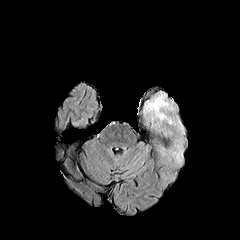
FLAIR magnetic resonance.
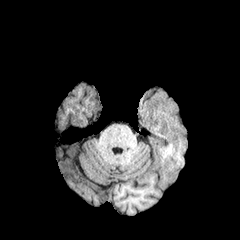
T1-weighted magnetic resonance.
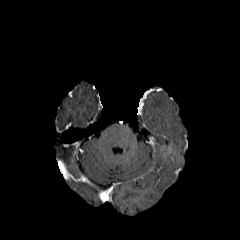
Post-contrast T1-weighted magnetic resonance of the same slice.
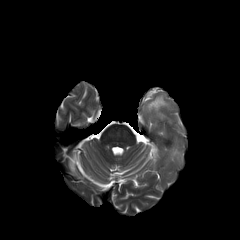
T2-weighted MR.
240x240
peritumoral edema: bounding box <box>144,93,173,124</box>, <box>173,152,180,161</box>